Head. Slice index 133.
FLAIR MR image.
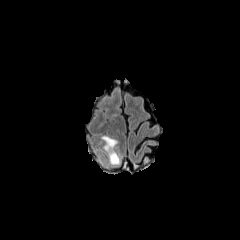
T1-weighted magnetic resonance.
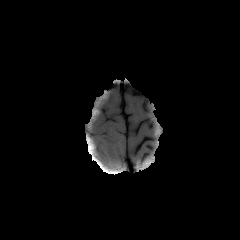
Post-contrast T1-weighted MRI.
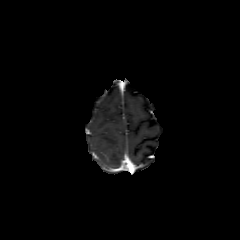
T2-weighted MR.
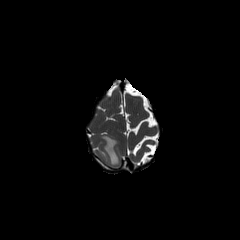
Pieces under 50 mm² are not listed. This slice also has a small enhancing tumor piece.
The peritumoral edema is at l=101, t=135, r=120, b=164.